Slice 97/155; Image width 240 mm; 240x240 px
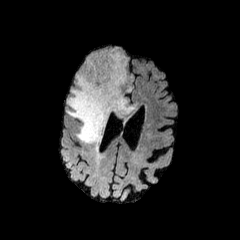
FLAIR MR image.
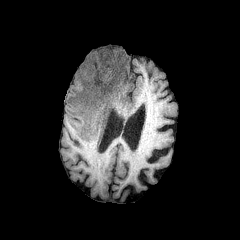
T1-weighted MR image.
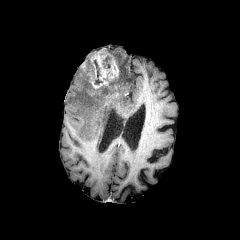
Post-contrast T1-weighted magnetic resonance.
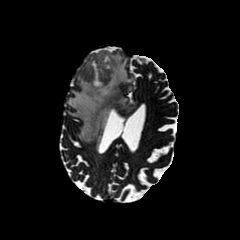
Same slice, T2-weighted MR image.
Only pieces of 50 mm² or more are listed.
The 2 largest necrotic tumor core regions are located at 103, 55, 110, 68; 93, 60, 102, 83. The largest peritumoral edema region is located at 67, 47, 133, 147. The enhancing tumor is bounded by 82, 48, 119, 104.